Axial view, Slice index 49
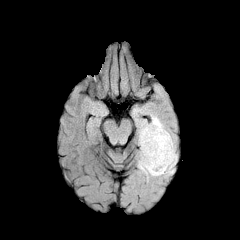
FLAIR magnetic resonance.
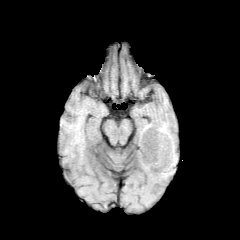
T1-weighted MR image.
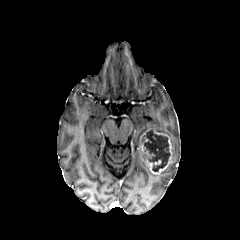
Post-contrast T1-weighted magnetic resonance.
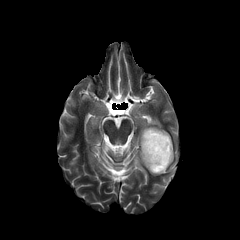
Same slice, T2-weighted MRI.
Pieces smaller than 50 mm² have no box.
necrotic_tumor_core:
  - box=[144, 130, 170, 171]
peritumoral_edema:
  - box=[137, 116, 177, 176]
enhancing_tumor:
  - box=[139, 128, 172, 174]